240x240 | Head
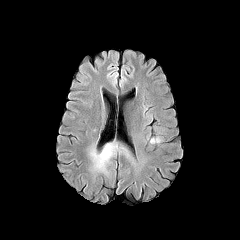
FLAIR magnetic resonance.
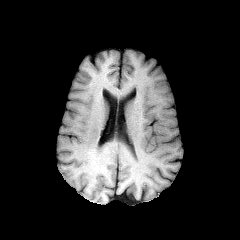
T1-weighted MR image.
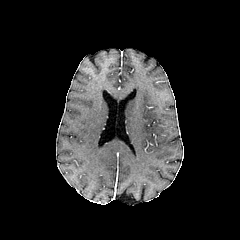
Same slice, post-contrast T1-weighted MR.
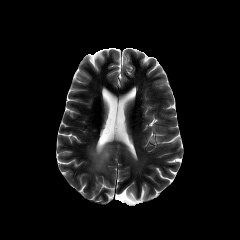
T2-weighted MR image.
peritumoral edema = x1=93 y1=146 x2=112 y2=170, x1=150 y1=136 x2=161 y2=143